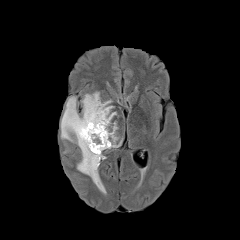
FLAIR MR image.
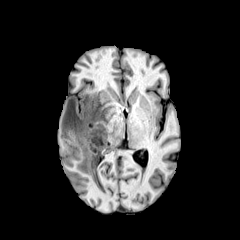
T1-weighted MR.
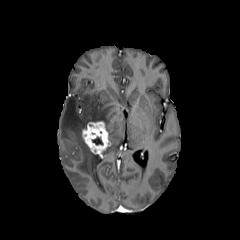
Post-contrast T1-weighted magnetic resonance.
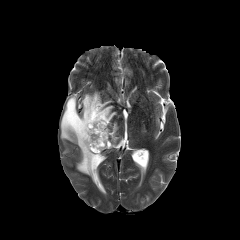
T2-weighted MRI.
240x240 | Axial view | Head
necrotic tumor core at bbox(92, 137, 102, 145)
enhancing tumor at bbox(82, 121, 110, 155)
peritumoral edema at bbox(60, 92, 122, 192)